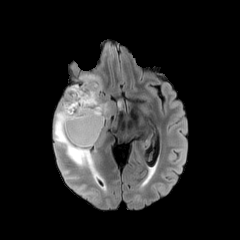
FLAIR MR image.
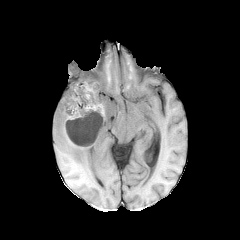
Same slice, T1-weighted MR image.
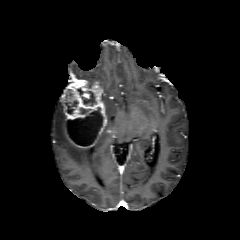
Post-contrast T1-weighted MR image.
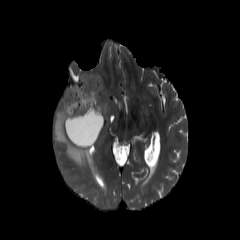
T2-weighted MR.
Head. Axial plane.
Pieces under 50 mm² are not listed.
{
  "peritumoral_edema": [
    "(54, 104, 93, 169)",
    "(79, 75, 102, 87)"
  ],
  "necrotic_tumor_core": [
    "(64, 99, 77, 113)",
    "(82, 91, 96, 105)",
    "(66, 107, 103, 146)"
  ],
  "enhancing_tumor": [
    "(63, 78, 107, 148)"
  ]
}